FLAIR MRI.
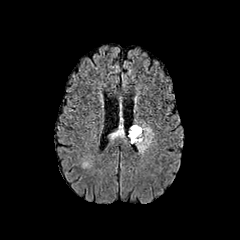
T1-weighted MR.
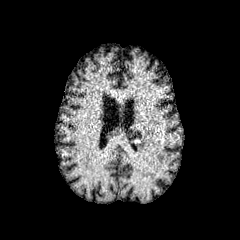
Post-contrast T1-weighted MR image.
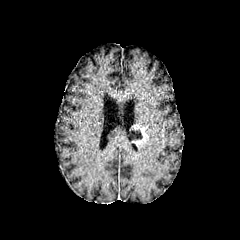
T2-weighted MR.
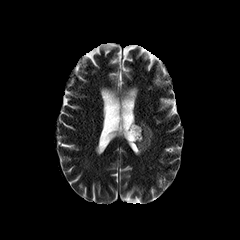
Axial slice. Brain.
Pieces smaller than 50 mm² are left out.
The largest enhancing tumor region lies within <bbox>130, 125, 148, 147</bbox>. The necrotic tumor core appears at <bbox>129, 127, 142, 140</bbox>. 2 peritumoral edema regions are bounded by <bbox>109, 124, 124, 139</bbox>, <bbox>137, 122, 153, 153</bbox>.